Axial slice. Head.
FLAIR MR image.
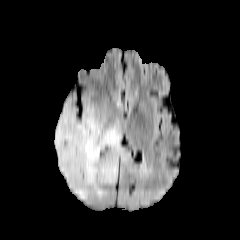
T1-weighted magnetic resonance.
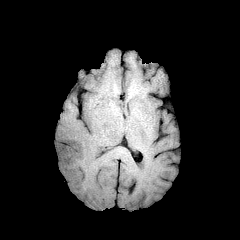
Post-contrast T1-weighted magnetic resonance.
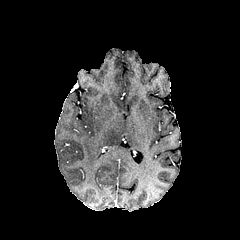
T2-weighted magnetic resonance.
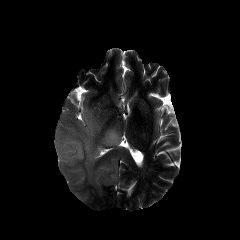
peritumoral edema at (x1=54, y1=105, x2=125, y2=199)